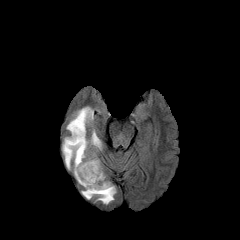
FLAIR MRI.
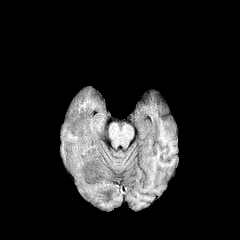
Same slice, T1-weighted MR image.
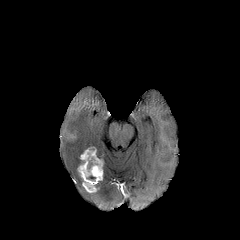
Same slice, post-contrast T1-weighted magnetic resonance.
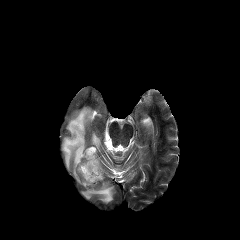
T2-weighted MR.
Head
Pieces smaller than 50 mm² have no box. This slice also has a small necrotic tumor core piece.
Findings:
- enhancing tumor: box(77, 147, 103, 193)
- peritumoral edema: box(62, 106, 102, 185); box(81, 174, 116, 204)